FLAIR MRI.
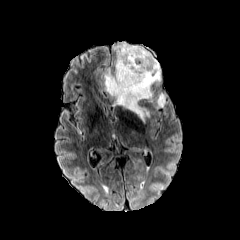
T1-weighted MR.
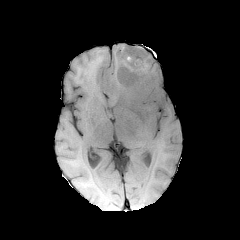
Post-contrast T1-weighted MRI.
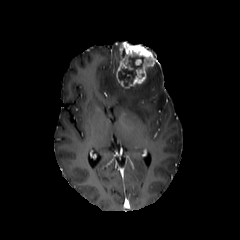
T2-weighted MR image.
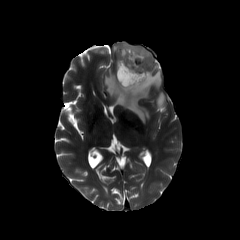
Axial view
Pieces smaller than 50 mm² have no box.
- necrotic tumor core: (left=118, top=56, right=144, bottom=85)
- peritumoral edema: (left=156, top=92, right=165, bottom=107), (left=104, top=42, right=161, bottom=121)
- enhancing tumor: (left=116, top=41, right=158, bottom=88)